FLAIR MR image.
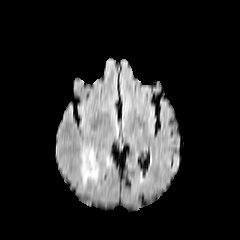
T1-weighted MRI.
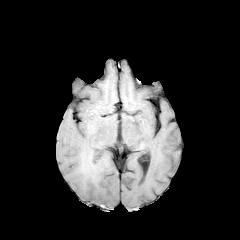
Post-contrast T1-weighted MR image.
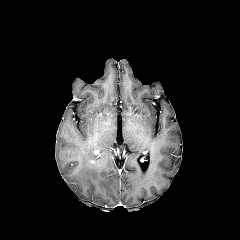
T2-weighted MR.
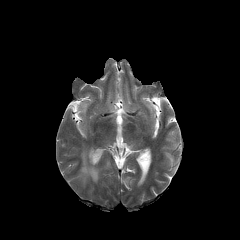
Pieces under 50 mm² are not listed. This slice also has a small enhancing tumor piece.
peritumoral_edema:
  - bbox=[81, 149, 114, 184]